Head; Slice 86 of 155; Axial slice
FLAIR MR.
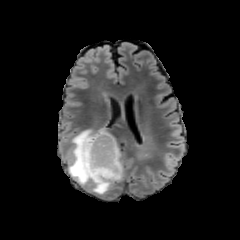
T1-weighted MRI.
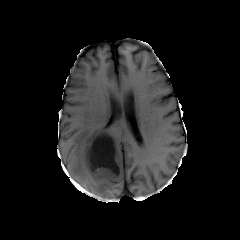
Post-contrast T1-weighted MR image.
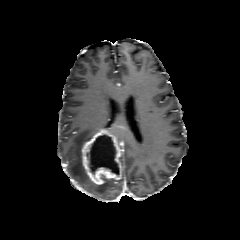
T2-weighted MR.
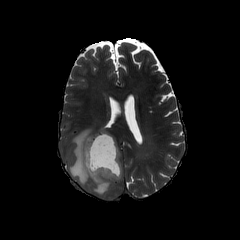
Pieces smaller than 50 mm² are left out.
{
  "enhancing_tumor": [
    "bbox=[82, 128, 123, 184]"
  ],
  "necrotic_tumor_core": [
    "bbox=[86, 135, 117, 174]"
  ],
  "peritumoral_edema": [
    "bbox=[67, 128, 114, 194]"
  ]
}